Image width 240 mm, 1.00 mm slice spacing | Brain | Axial slice
FLAIR magnetic resonance.
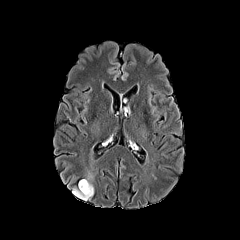
T1-weighted magnetic resonance.
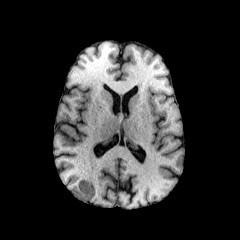
Post-contrast T1-weighted MR.
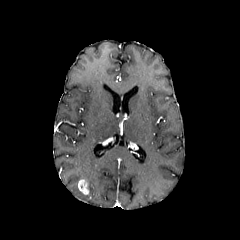
T2-weighted MRI.
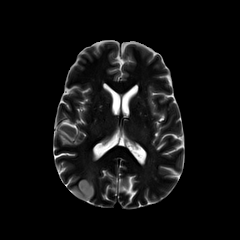
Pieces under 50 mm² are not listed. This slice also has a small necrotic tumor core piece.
The peritumoral edema is located at bbox=[72, 174, 94, 200]. The largest enhancing tumor region is located at bbox=[78, 179, 89, 194].